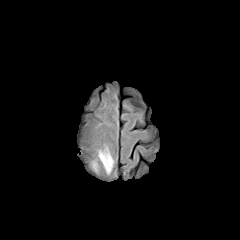
FLAIR MR.
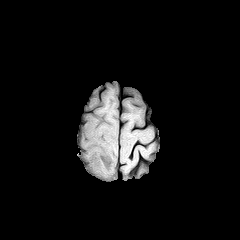
T1-weighted MRI of the same slice.
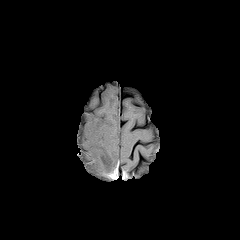
Post-contrast T1-weighted MRI.
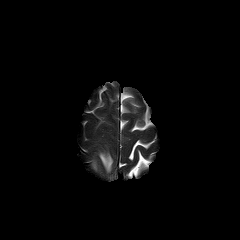
T2-weighted MRI.
Head
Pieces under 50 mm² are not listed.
{"peritumoral_edema": ["99:151:113:172"]}